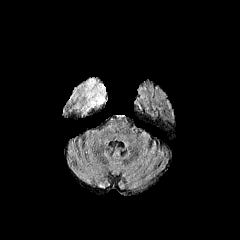
FLAIR magnetic resonance.
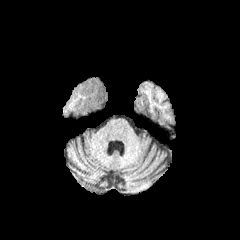
Same slice, T1-weighted MR.
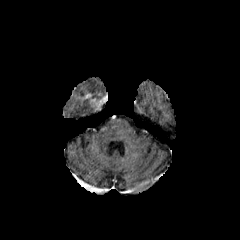
Same slice, post-contrast T1-weighted MR image.
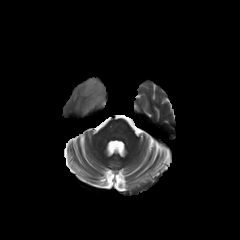
Same slice, T2-weighted MRI.
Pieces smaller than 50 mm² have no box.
peritumoral edema: (85,99,94,111), (83,78,105,99) | enhancing tumor: (82,93,106,106)